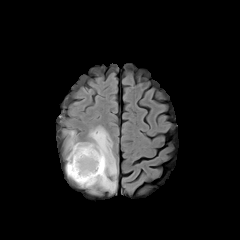
FLAIR MRI.
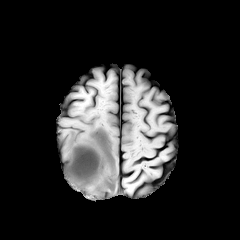
Same slice, T1-weighted magnetic resonance.
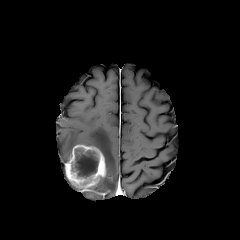
Post-contrast T1-weighted magnetic resonance.
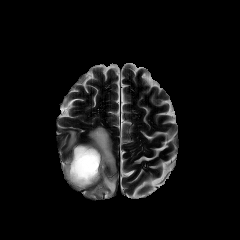
Same slice, T2-weighted MR.
Axial slice. Image size 240x240.
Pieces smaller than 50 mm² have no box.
peritumoral_edema:
  - x1=66, y1=126, x2=117, y2=193
enhancing_tumor:
  - x1=65, y1=144, x2=105, y2=188
necrotic_tumor_core:
  - x1=72, y1=149, x2=98, y2=178